Slice index 120, Head
FLAIR MR.
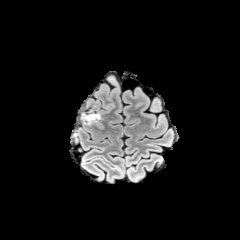
T1-weighted MR image.
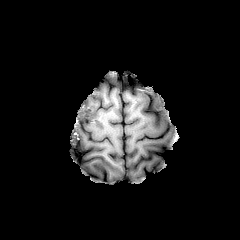
Post-contrast T1-weighted magnetic resonance.
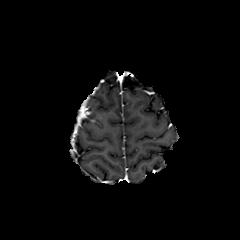
T2-weighted MR.
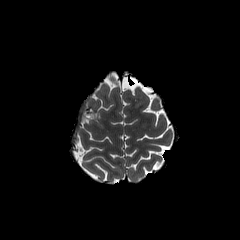
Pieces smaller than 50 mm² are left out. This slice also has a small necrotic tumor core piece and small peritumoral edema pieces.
The enhancing tumor is at {"x1": 83, "y1": 111, "x2": 100, "y2": 122}.